FLAIR MRI.
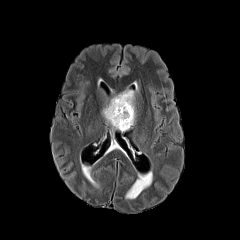
T1-weighted MRI.
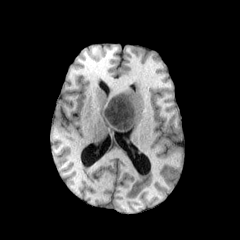
Post-contrast T1-weighted MR image.
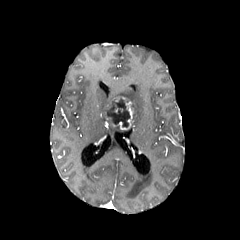
T2-weighted magnetic resonance.
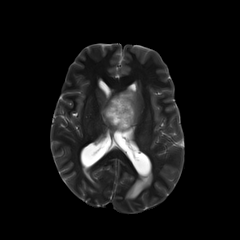
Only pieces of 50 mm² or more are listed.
Annotated regions:
• enhancing tumor: l=110, t=96, r=133, b=130
• necrotic tumor core: l=106, t=99, r=130, b=127
• peritumoral edema: l=118, t=90, r=136, b=121